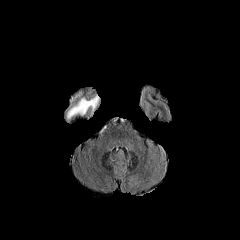
FLAIR MR image.
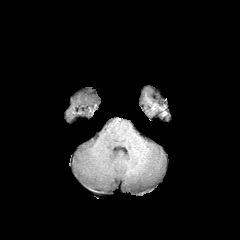
T1-weighted MR of the same slice.
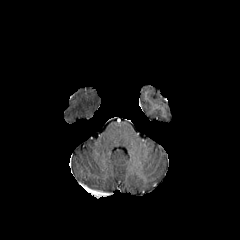
Post-contrast T1-weighted MR.
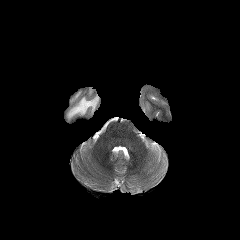
T2-weighted MR.
Brain
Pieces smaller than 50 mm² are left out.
Findings:
- peritumoral edema: {"x1": 67, "y1": 94, "x2": 99, "y2": 118}